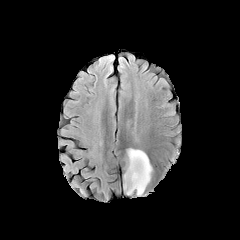
FLAIR magnetic resonance.
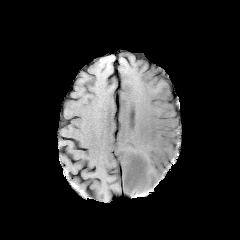
T1-weighted MR image of the same slice.
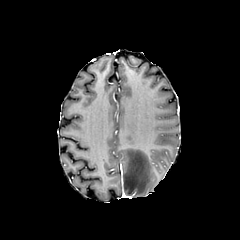
Post-contrast T1-weighted MR.
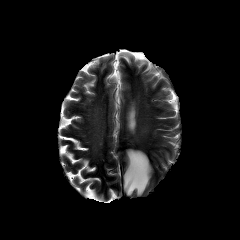
T2-weighted MR.
Axial plane
<segmentation>
  <peritumoral_edema>region(124, 148, 152, 195)</peritumoral_edema>
</segmentation>